Brain
FLAIR magnetic resonance.
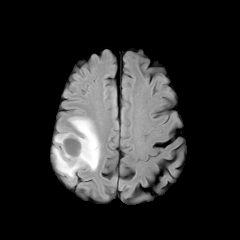
T1-weighted MR image.
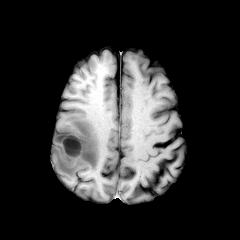
Post-contrast T1-weighted MR image.
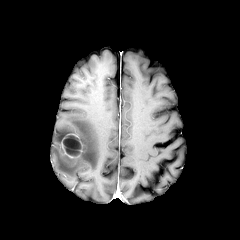
T2-weighted MR.
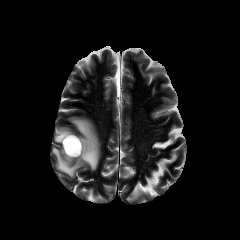
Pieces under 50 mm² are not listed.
The enhancing tumor is bounded by [x1=60, y1=133, x2=87, y2=165]. The peritumoral edema appears at [x1=53, y1=117, x2=100, y2=179]. The 2 largest necrotic tumor core regions appear at [x1=63, y1=139, x2=80, y2=149], [x1=65, y1=147, x2=80, y2=156].